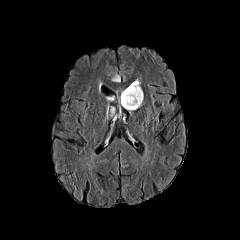
FLAIR MRI.
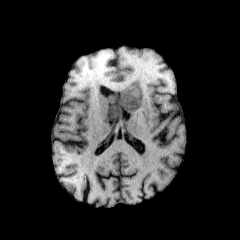
Same slice, T1-weighted MRI.
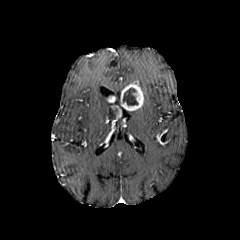
Post-contrast T1-weighted MR image.
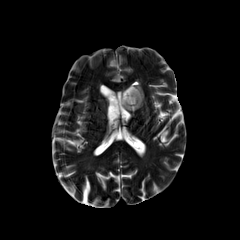
T2-weighted MRI of the same slice.
Image size 240x240
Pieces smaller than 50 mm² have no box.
* enhancing tumor: x1=109, y1=105, x2=121, y2=119; x1=120, y1=80, x2=143, y2=111; x1=107, y1=96, x2=115, y2=102
* peritumoral edema: x1=107, y1=107, x2=115, y2=119
* necrotic tumor core: x1=123, y1=88, x2=138, y2=105